FLAIR MR image.
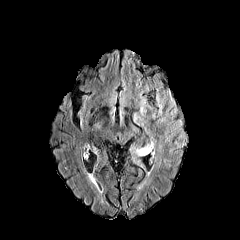
T1-weighted MRI.
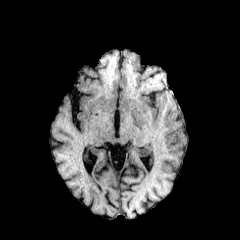
Post-contrast T1-weighted MRI.
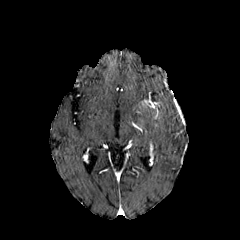
T2-weighted MR.
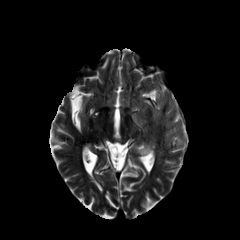
Head
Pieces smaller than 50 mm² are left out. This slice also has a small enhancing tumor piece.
peritumoral edema = x1=134, y1=144, x2=149, y2=155; x1=133, y1=102, x2=155, y2=124